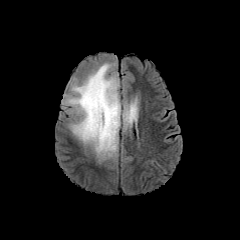
FLAIR MR image.
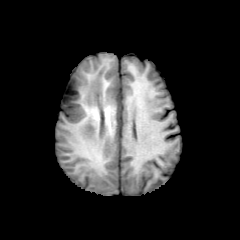
T1-weighted MR image of the same slice.
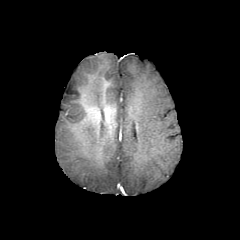
Same slice, post-contrast T1-weighted MR image.
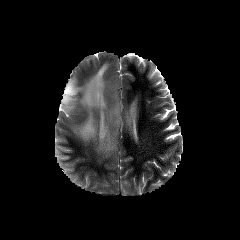
T2-weighted MRI.
<segmentation>
  <peritumoral_edema>(62,63,139,159)</peritumoral_edema>
</segmentation>